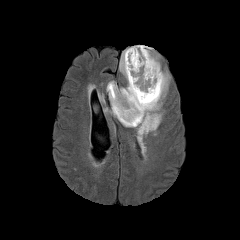
FLAIR MR.
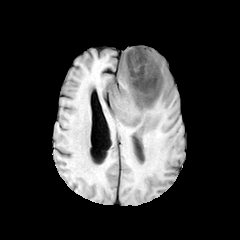
T1-weighted MRI.
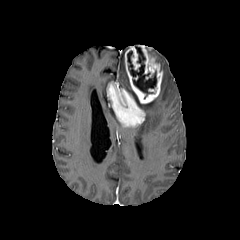
Same slice, post-contrast T1-weighted MR.
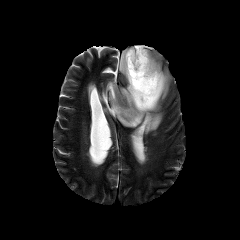
T2-weighted MR of the same slice.
Head
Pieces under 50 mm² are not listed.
The 3 largest peritumoral edema regions appear at [151,49,159,62], [134,70,170,144], [119,49,130,90]. The enhancing tumor appears at [107,45,162,127]. The largest necrotic tumor core region appears at [127,46,156,94].